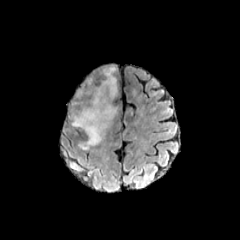
FLAIR MR image.
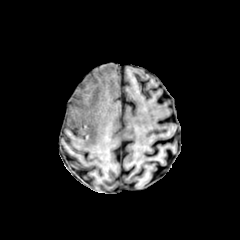
T1-weighted MR of the same slice.
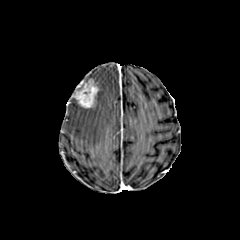
Post-contrast T1-weighted MR image of the same slice.
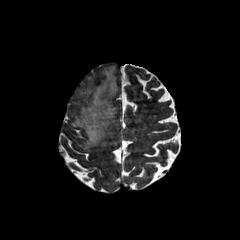
Same slice, T2-weighted MRI.
Brain.
The enhancing tumor is located at (left=73, top=78, right=99, bottom=108). The peritumoral edema is bounded by (left=72, top=66, right=116, bottom=149).